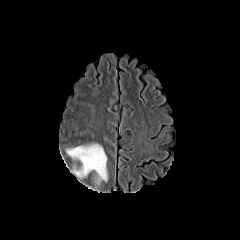
FLAIR MR.
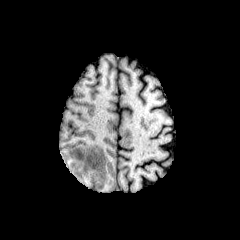
Same slice, T1-weighted MR image.
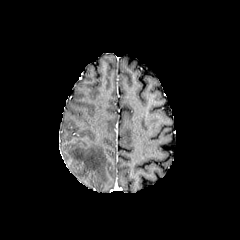
Post-contrast T1-weighted MRI of the same slice.
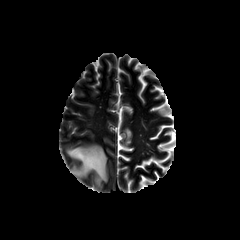
T2-weighted MR image of the same slice.
Brain
peritumoral_edema:
  - bbox(66, 144, 107, 184)